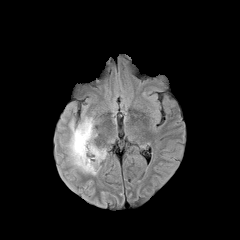
FLAIR MRI.
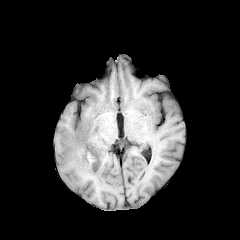
T1-weighted magnetic resonance.
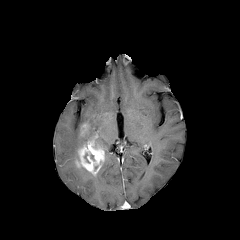
Post-contrast T1-weighted MR of the same slice.
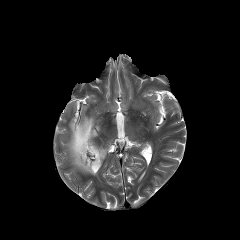
T2-weighted MR image of the same slice.
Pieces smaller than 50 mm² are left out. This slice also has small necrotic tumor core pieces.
Segmented structures:
* enhancing tumor: region(79, 123, 89, 138); region(75, 139, 104, 175)
* peritumoral edema: region(66, 115, 97, 173)